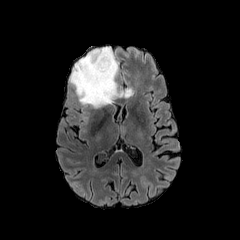
FLAIR magnetic resonance.
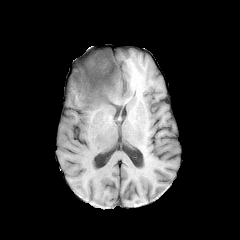
T1-weighted MRI of the same slice.
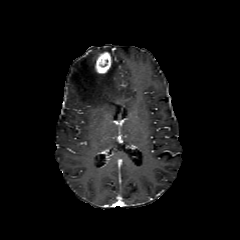
Post-contrast T1-weighted magnetic resonance.
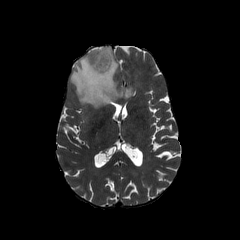
T2-weighted MRI of the same slice.
Brain
<segmentation>
  <peritumoral_edema>bbox=[69, 47, 132, 108]</peritumoral_edema>
  <enhancing_tumor>bbox=[95, 52, 112, 73]</enhancing_tumor>
</segmentation>